Slice 65/155 | Image covers 240 mm x 240 mm | Image size 240x240
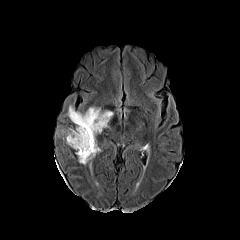
FLAIR MR.
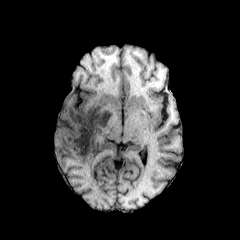
T1-weighted MR image.
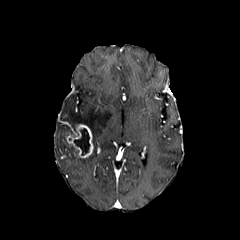
Same slice, post-contrast T1-weighted MR.
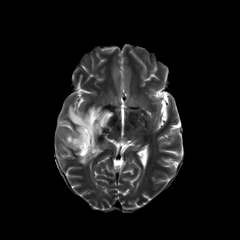
Same slice, T2-weighted MRI.
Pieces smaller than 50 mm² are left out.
peritumoral_edema:
  - box(67, 105, 113, 186)
enhancing_tumor:
  - box(65, 124, 93, 158)
necrotic_tumor_core:
  - box(74, 129, 89, 155)